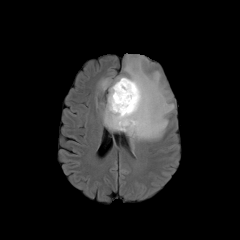
FLAIR MR image.
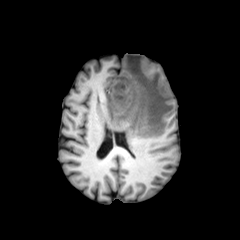
T1-weighted MR.
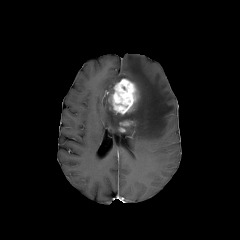
Post-contrast T1-weighted MR image.
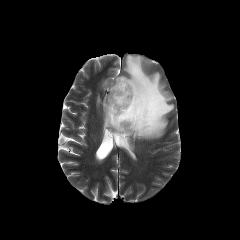
T2-weighted MR.
Brain.
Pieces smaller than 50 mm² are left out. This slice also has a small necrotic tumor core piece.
peritumoral edema: [100,55,174,143] | enhancing tumor: [120,120,133,126], [108,78,138,114]